Slice index 76. Axial plane. Brain.
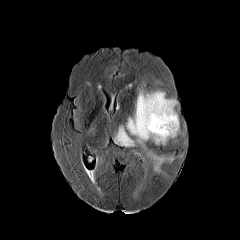
FLAIR MR image.
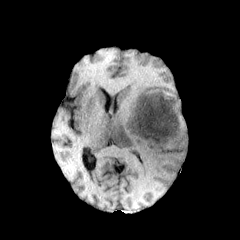
T1-weighted magnetic resonance of the same slice.
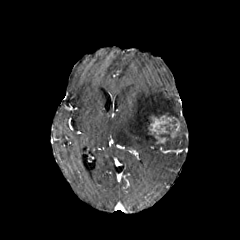
Same slice, post-contrast T1-weighted MR.
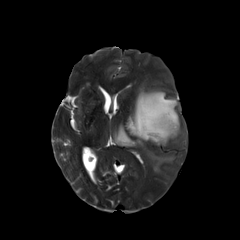
T2-weighted MR of the same slice.
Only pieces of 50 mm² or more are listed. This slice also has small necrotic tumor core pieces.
The largest peritumoral edema region appears at region(114, 87, 183, 172). The enhancing tumor is located at region(148, 114, 179, 143).